FLAIR MR image.
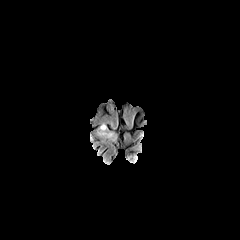
T1-weighted MR.
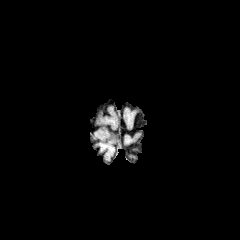
Post-contrast T1-weighted MRI.
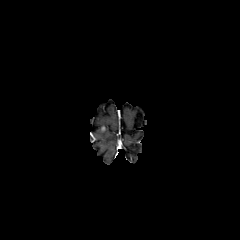
T2-weighted MRI.
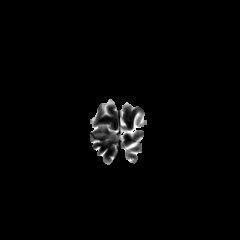
Axial view
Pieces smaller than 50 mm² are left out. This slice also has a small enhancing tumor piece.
The largest peritumoral edema region is at (left=96, top=124, right=116, bottom=140).